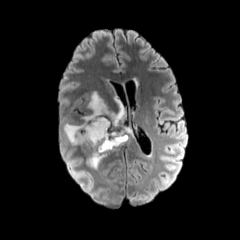
FLAIR MRI.
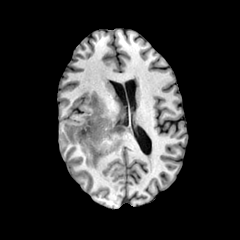
T1-weighted magnetic resonance.
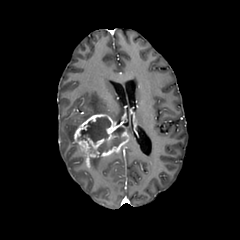
Same slice, post-contrast T1-weighted MRI.
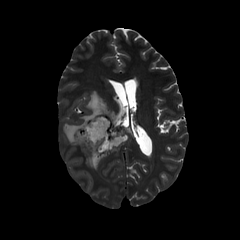
T2-weighted MRI.
Head.
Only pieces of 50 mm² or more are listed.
The 3 largest peritumoral edema regions are located at {"x1": 90, "y1": 158, "x2": 102, "y2": 169}, {"x1": 82, "y1": 92, "x2": 122, "y2": 121}, {"x1": 63, "y1": 123, "x2": 81, "y2": 145}. The enhancing tumor is located at {"x1": 73, "y1": 113, "x2": 128, "y2": 167}. The largest necrotic tumor core region lies within {"x1": 77, "y1": 117, "x2": 125, "y2": 155}.